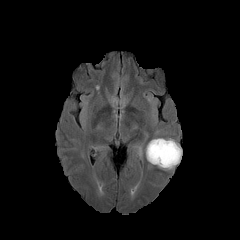
FLAIR MR image.
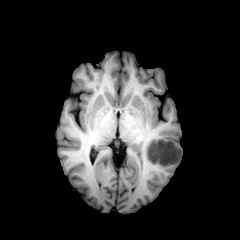
T1-weighted MRI.
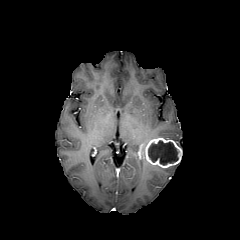
Same slice, post-contrast T1-weighted MRI.
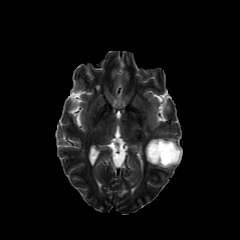
T2-weighted magnetic resonance.
Axial view; Brain
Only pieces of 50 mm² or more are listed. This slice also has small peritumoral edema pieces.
necrotic tumor core: box=[148, 140, 178, 165]
enhancing tumor: box=[145, 138, 182, 167]